FLAIR MR image.
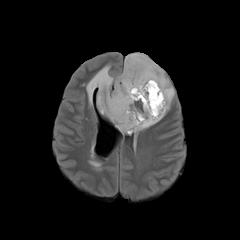
T1-weighted MRI.
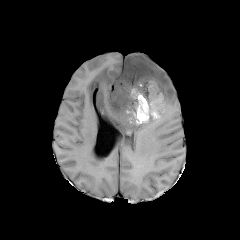
Post-contrast T1-weighted MRI.
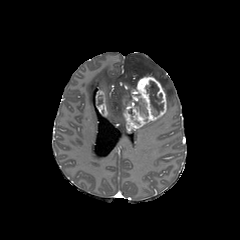
T2-weighted MR image.
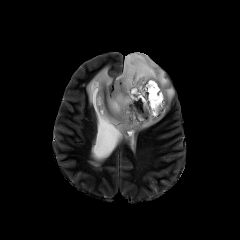
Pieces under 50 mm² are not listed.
The 2 largest necrotic tumor core regions are bounded by (134, 98, 148, 116), (146, 81, 163, 116). The 2 largest peritumoral edema regions are bounded by (86, 53, 174, 133), (132, 114, 164, 132). The 2 largest enhancing tumor regions are located at (123, 75, 166, 132), (96, 90, 108, 116).